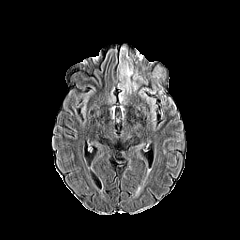
FLAIR MR image.
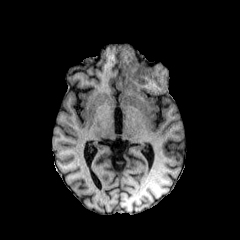
T1-weighted MR image.
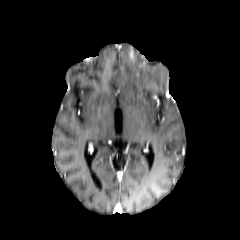
Same slice, post-contrast T1-weighted MR.
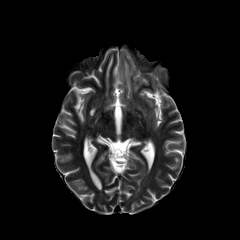
T2-weighted MR.
Brain
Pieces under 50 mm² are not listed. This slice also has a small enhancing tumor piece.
peritumoral_edema:
  - [121, 47, 137, 92]